FLAIR MRI.
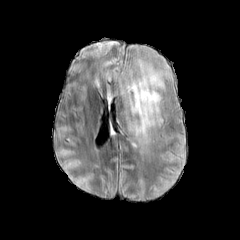
T1-weighted MR image.
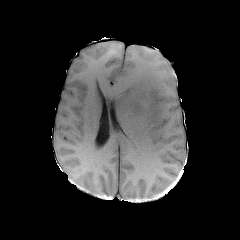
Post-contrast T1-weighted MR.
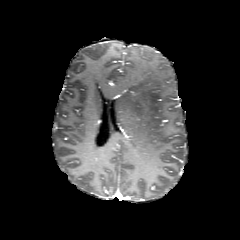
T2-weighted magnetic resonance.
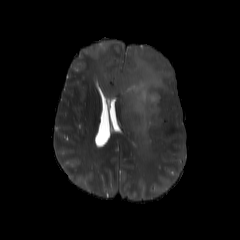
Axial plane.
The peritumoral edema lies within [116,59,171,141].